Slice index 51, Axial slice, Brain
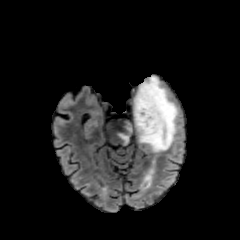
FLAIR MRI.
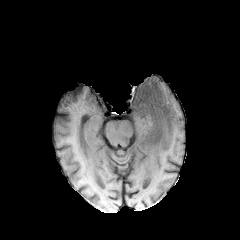
T1-weighted MR.
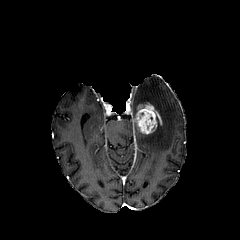
Post-contrast T1-weighted MRI.
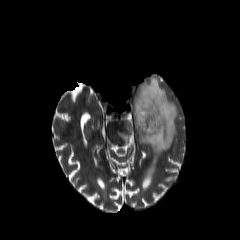
Same slice, T2-weighted magnetic resonance.
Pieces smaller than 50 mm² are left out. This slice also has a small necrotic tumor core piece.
peritumoral edema at {"x1": 116, "y1": 76, "x2": 178, "y2": 155}, {"x1": 141, "y1": 159, "x2": 155, "y2": 189}
enhancing tumor at {"x1": 133, "y1": 102, "x2": 162, "y2": 134}